Brain
FLAIR MR image.
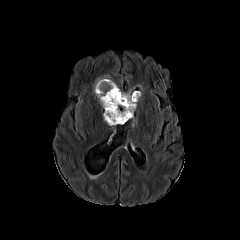
T1-weighted MRI.
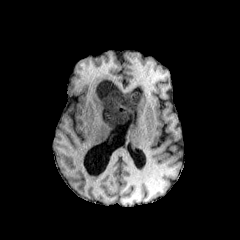
Post-contrast T1-weighted MR image.
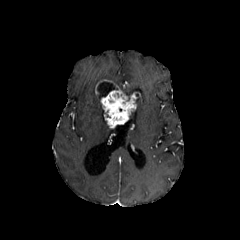
T2-weighted magnetic resonance.
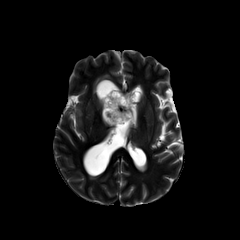
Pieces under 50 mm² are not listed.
necrotic tumor core — 97,81,117,97
peritumoral edema — 94,75,110,92
enhancing tumor — 95,79,112,94; 100,89,140,126